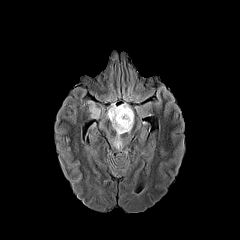
FLAIR MR image.
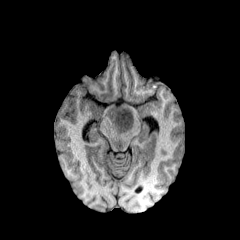
T1-weighted MRI of the same slice.
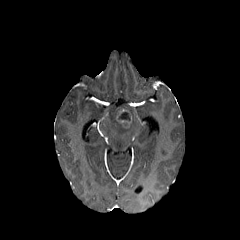
Post-contrast T1-weighted magnetic resonance of the same slice.
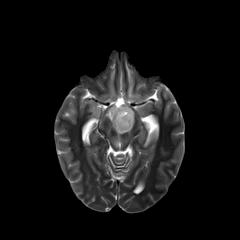
T2-weighted magnetic resonance.
Brain.
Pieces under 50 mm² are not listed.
The enhancing tumor lies within x1=114 y1=107 x2=132 y2=128. The largest necrotic tumor core region lies within x1=118 y1=111 x2=130 y2=121. The 2 largest peritumoral edema regions are bounded by x1=106 y1=103 x2=134 y2=148, x1=88 y1=101 x2=100 y2=117.